Head
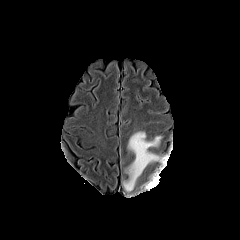
FLAIR MRI.
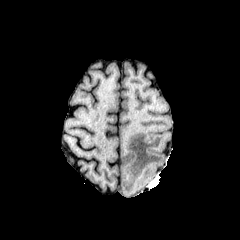
T1-weighted magnetic resonance.
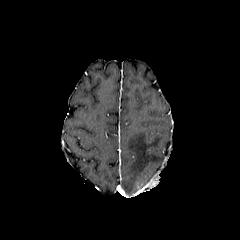
Same slice, post-contrast T1-weighted magnetic resonance.
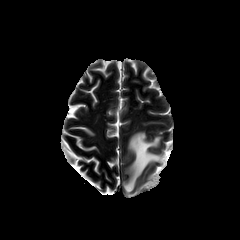
T2-weighted MR image of the same slice.
- peritumoral edema: 123 131 161 191